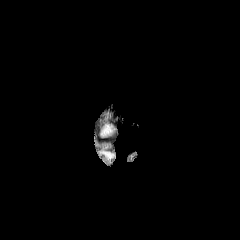
FLAIR magnetic resonance.
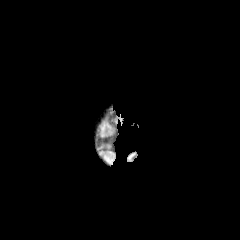
T1-weighted MR image.
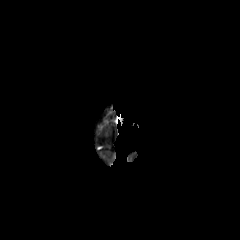
Post-contrast T1-weighted MR.
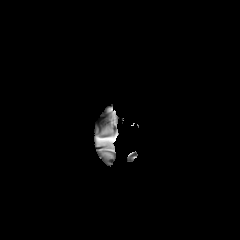
T2-weighted MR image of the same slice.
Head. 240x240 px. Axial plane.
Annotated regions:
* peritumoral edema: (101,125,112,135), (101,152,113,160)